Slice 70/155, Brain, Image size 240x240, Axial plane
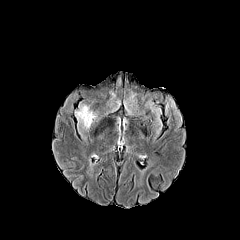
FLAIR MR.
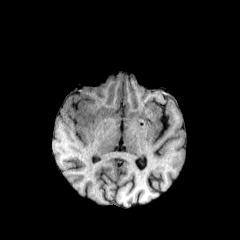
T1-weighted MR image.
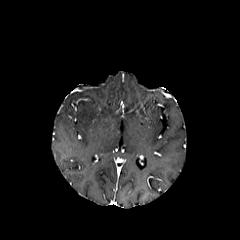
Post-contrast T1-weighted MRI.
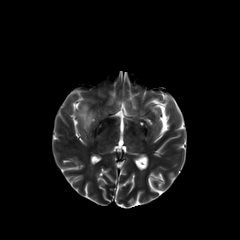
T2-weighted MR image of the same slice.
peritumoral edema — [76,105,95,128]